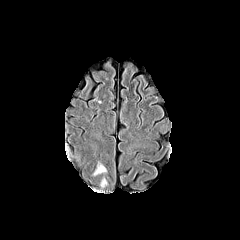
FLAIR MR.
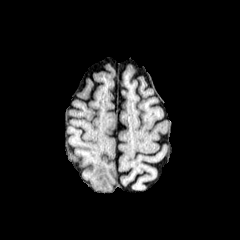
T1-weighted magnetic resonance of the same slice.
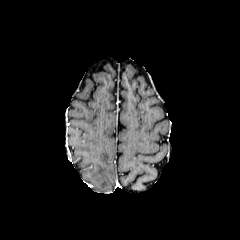
Post-contrast T1-weighted MR image.
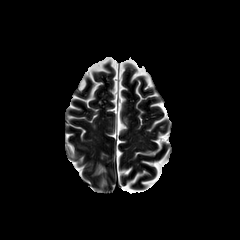
T2-weighted MR image.
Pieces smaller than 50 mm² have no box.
The largest peritumoral edema region is at bbox(93, 163, 106, 175).